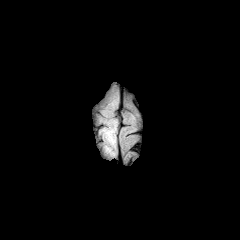
FLAIR MR image.
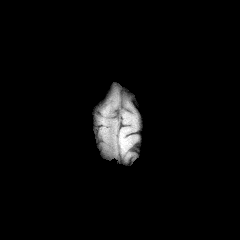
T1-weighted MR of the same slice.
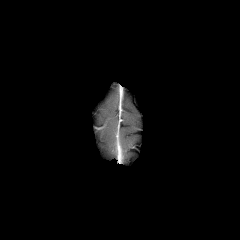
Post-contrast T1-weighted MRI of the same slice.
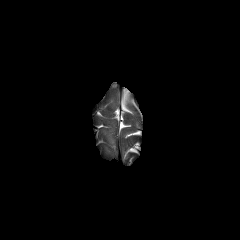
Same slice, T2-weighted MR image.
240x240, Head
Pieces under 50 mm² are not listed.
The largest peritumoral edema region is at region(104, 129, 114, 144).